Slice 45/155; Axial slice; 240x240
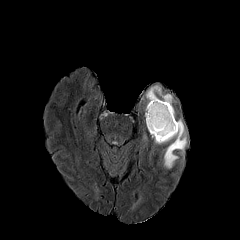
FLAIR magnetic resonance.
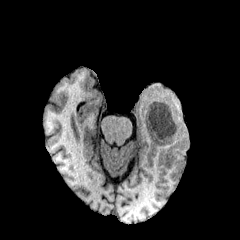
T1-weighted MR.
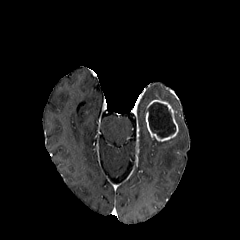
Post-contrast T1-weighted MR of the same slice.
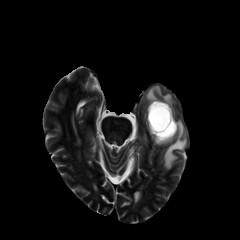
T2-weighted magnetic resonance.
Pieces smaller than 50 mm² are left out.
The necrotic tumor core lies within 147:102:175:137. The enhancing tumor appears at 145:99:178:141. The 2 largest peritumoral edema regions are bounded by 145:85:175:108, 163:119:187:168.